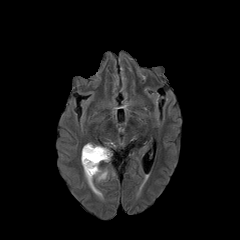
FLAIR MR.
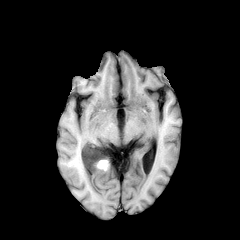
T1-weighted magnetic resonance of the same slice.
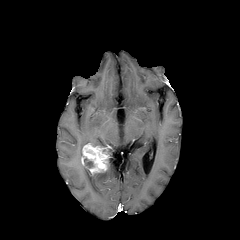
Same slice, post-contrast T1-weighted MR image.
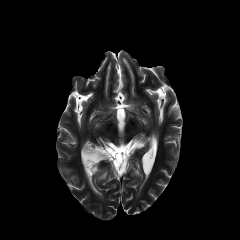
T2-weighted MRI of the same slice.
Axial slice
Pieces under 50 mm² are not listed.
{
  "peritumoral_edema": [
    "x1=83 y1=166 x2=108 y2=197"
  ],
  "enhancing_tumor": [
    "x1=81 y1=143 x2=111 y2=175"
  ],
  "necrotic_tumor_core": [
    "x1=84 y1=158 x2=92 y2=167"
  ]
}